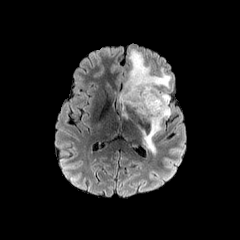
FLAIR MR image.
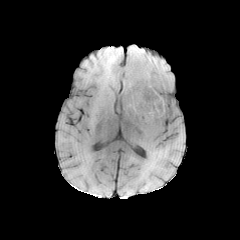
T1-weighted MRI of the same slice.
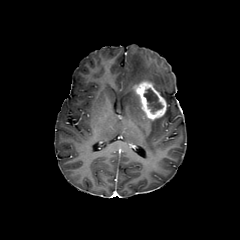
Post-contrast T1-weighted magnetic resonance.
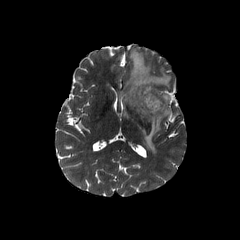
Same slice, T2-weighted MR image.
Brain, Axial plane, Image size 240x240
Findings:
* enhancing tumor: 133,80,166,120
* necrotic tumor core: 144,88,163,112
* peritumoral edema: 119,49,171,152